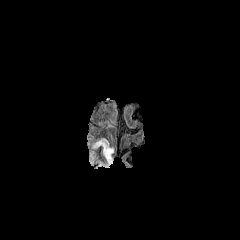
FLAIR MRI.
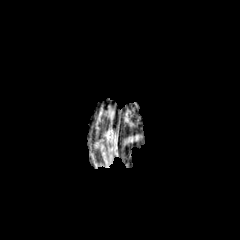
T1-weighted MR.
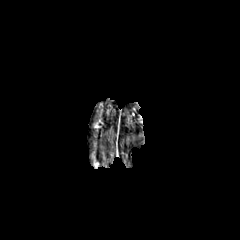
Post-contrast T1-weighted magnetic resonance of the same slice.
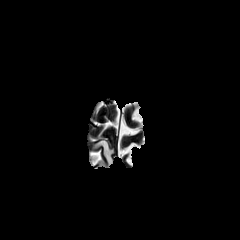
Same slice, T2-weighted magnetic resonance.
240x240 px
The peritumoral edema appears at x1=95, y1=139, x2=113, y2=166.